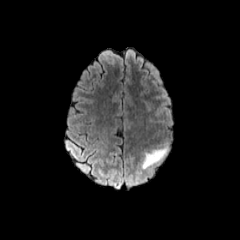
FLAIR MRI.
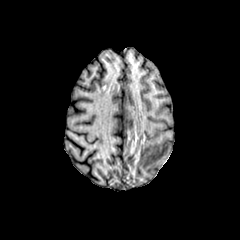
T1-weighted MR of the same slice.
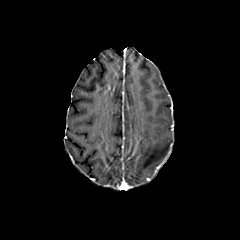
Post-contrast T1-weighted MR.
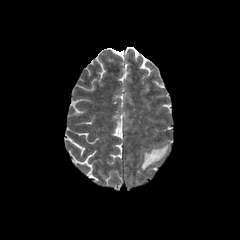
T2-weighted MRI.
The peritumoral edema lies within bbox=[141, 144, 168, 168].